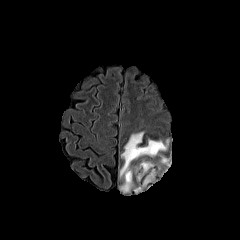
FLAIR magnetic resonance.
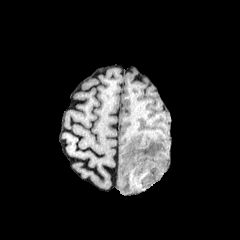
T1-weighted magnetic resonance.
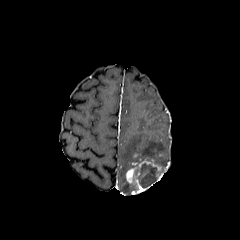
Post-contrast T1-weighted MRI of the same slice.
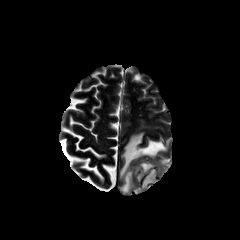
T2-weighted MR.
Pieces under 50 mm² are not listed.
The largest enhancing tumor region appears at bbox=[126, 159, 165, 192]. 2 peritumoral edema regions appear at bbox=[119, 132, 168, 192]; bbox=[160, 156, 168, 164]. The necrotic tumor core is bounded by bbox=[138, 164, 156, 187].